Head
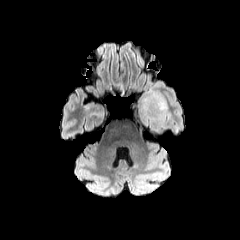
FLAIR magnetic resonance.
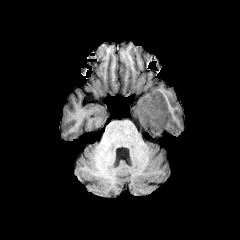
T1-weighted MR image of the same slice.
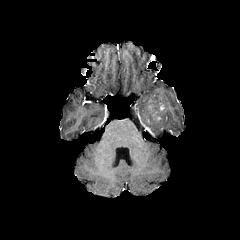
Post-contrast T1-weighted MR of the same slice.
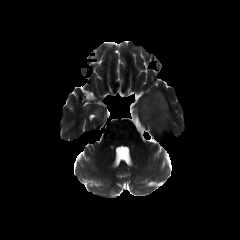
T2-weighted MRI.
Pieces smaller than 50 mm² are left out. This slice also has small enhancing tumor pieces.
The peritumoral edema lies within (left=137, top=90, right=167, bottom=129).